Image width 240 mm, 1.00 mm slice spacing; Axial view; Slice 33/155; Head
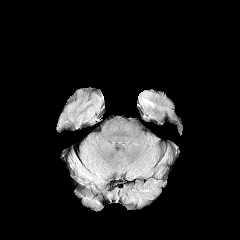
FLAIR magnetic resonance.
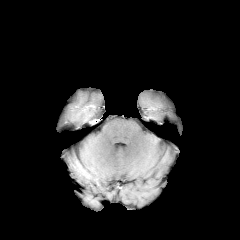
Same slice, T1-weighted MR.
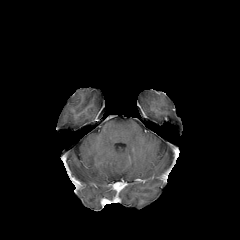
Post-contrast T1-weighted MR of the same slice.
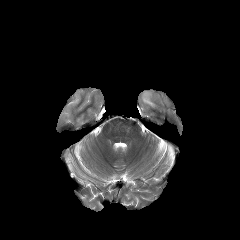
Same slice, T2-weighted MRI.
peritumoral edema: 142:93:154:106